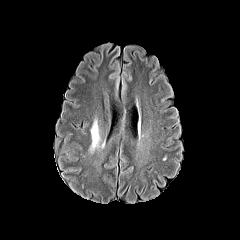
FLAIR MR.
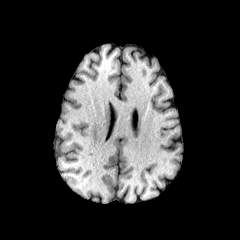
T1-weighted MR of the same slice.
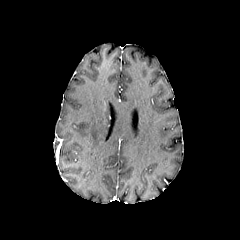
Post-contrast T1-weighted MR image.
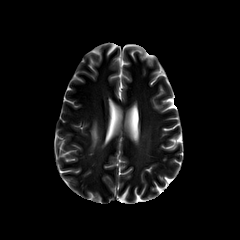
T2-weighted MRI.
Brain
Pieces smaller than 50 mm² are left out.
peritumoral_edema:
  - (90, 120, 100, 150)